FLAIR MR.
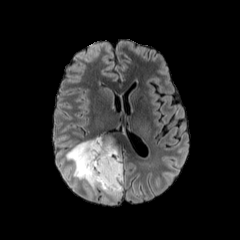
T1-weighted magnetic resonance.
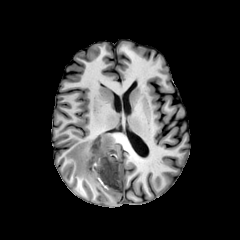
Post-contrast T1-weighted MRI.
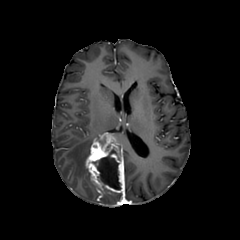
T2-weighted MR image.
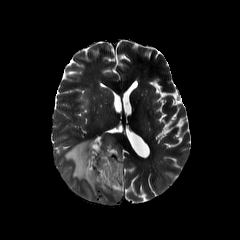
Axial plane, 240x240, Brain
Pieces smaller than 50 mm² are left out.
Annotated regions:
- enhancing tumor: (left=85, top=133, right=124, bottom=193)
- necrotic tumor core: (left=92, top=148, right=120, bottom=189)
- peritumoral edema: (left=102, top=193, right=122, bottom=200), (left=65, top=139, right=99, bottom=195)